Slice 118/155
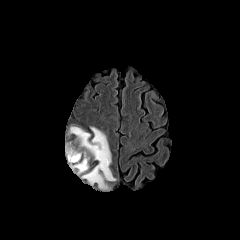
FLAIR MR image.
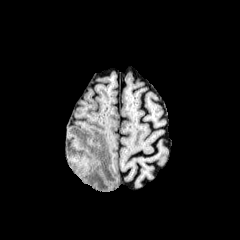
Same slice, T1-weighted MR.
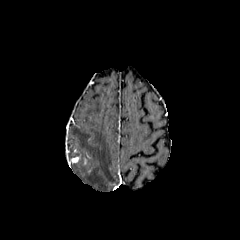
Same slice, post-contrast T1-weighted MRI.
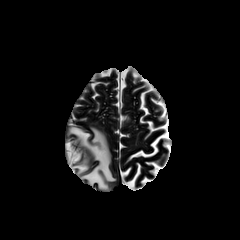
T2-weighted magnetic resonance.
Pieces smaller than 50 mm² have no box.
The largest enhancing tumor region lies within left=69, top=156, right=80, bottom=163. 2 peritumoral edema regions appear at left=67, top=147, right=81, bottom=161; left=69, top=126, right=115, bottom=190.